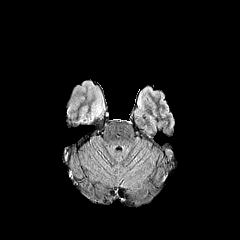
FLAIR MR image.
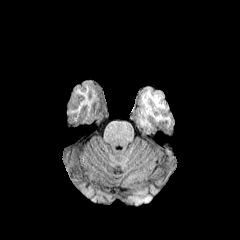
T1-weighted magnetic resonance.
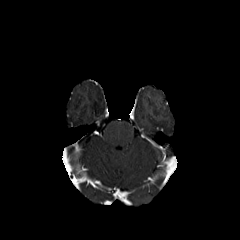
Same slice, post-contrast T1-weighted MRI.
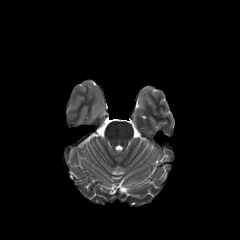
T2-weighted magnetic resonance.
<segmentation>
  <peritumoral_edema>(94, 101, 102, 113)</peritumoral_edema>
</segmentation>